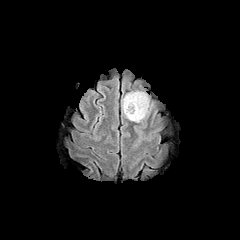
FLAIR MRI.
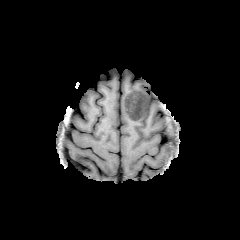
T1-weighted MR of the same slice.
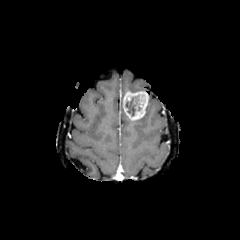
Post-contrast T1-weighted MR image of the same slice.
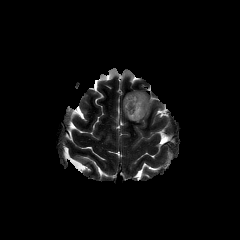
T2-weighted MR.
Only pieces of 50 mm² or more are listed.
{
  "peritumoral_edema": [
    "left=134, top=98, right=153, bottom=122"
  ],
  "enhancing_tumor": [
    "left=123, top=91, right=148, bottom=121"
  ],
  "necrotic_tumor_core": [
    "left=125, top=97, right=136, bottom=115"
  ]
}